FLAIR MRI.
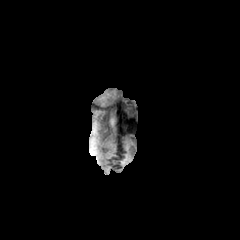
T1-weighted magnetic resonance.
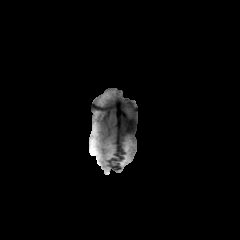
Post-contrast T1-weighted MR image.
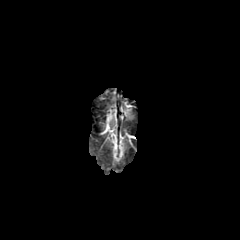
T2-weighted MR.
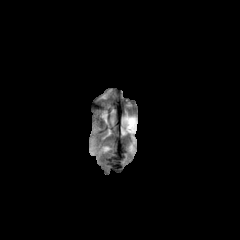
Image size 240x240 | Head
peritumoral edema: [109,113,114,127]